Brain; Image covers 240 mm x 240 mm; Slice 125/155; 240x240 px
FLAIR MR.
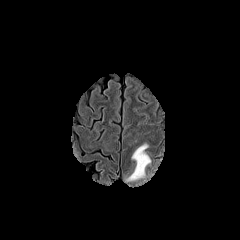
T1-weighted magnetic resonance.
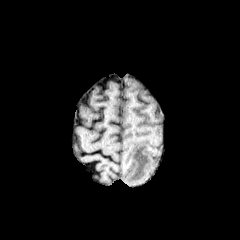
Post-contrast T1-weighted MRI.
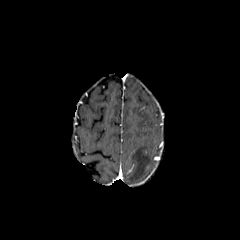
T2-weighted MRI.
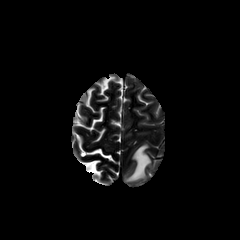
peritumoral edema: (left=125, top=144, right=150, bottom=181)